FLAIR MR.
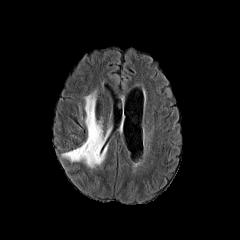
T1-weighted MR image.
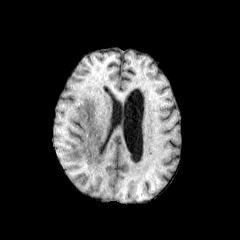
Post-contrast T1-weighted MR.
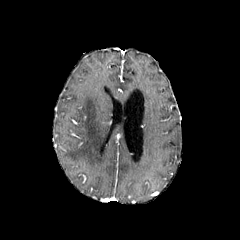
T2-weighted MR.
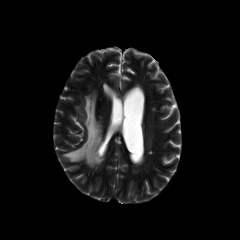
<segmentation>
  <peritumoral_edema>(62, 91, 107, 167)</peritumoral_edema>
</segmentation>